FLAIR MR image.
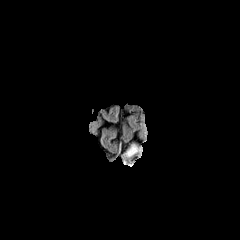
T1-weighted MR image.
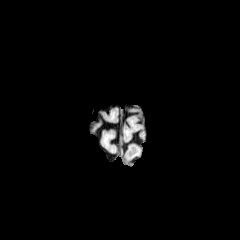
Post-contrast T1-weighted magnetic resonance.
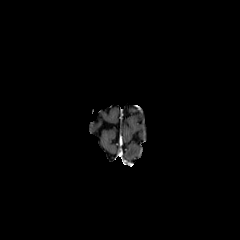
T2-weighted MR.
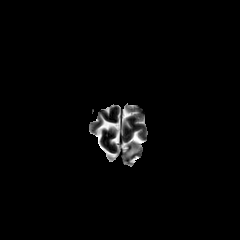
240x240
peritumoral edema = region(124, 144, 140, 157)